Image width 240 mm, 1.00 mm slice spacing
FLAIR magnetic resonance.
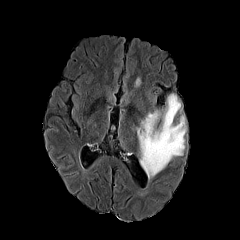
T1-weighted MRI.
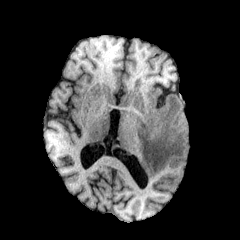
Post-contrast T1-weighted MR image.
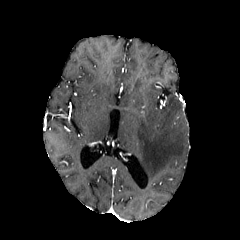
T2-weighted MR.
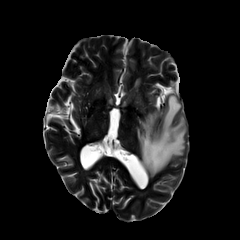
The peritumoral edema is bounded by <bbox>137, 94, 186, 179</bbox>.